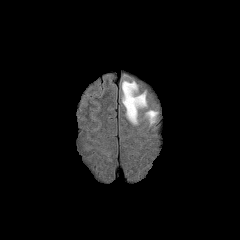
FLAIR MRI.
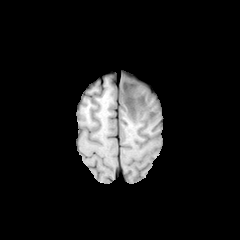
T1-weighted MR.
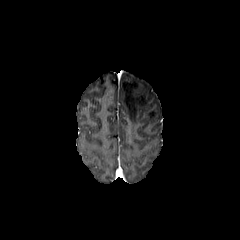
Same slice, post-contrast T1-weighted MR.
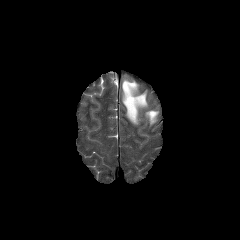
T2-weighted magnetic resonance.
240x240 px
• peritumoral edema: (x1=122, y1=80, x2=147, y2=124), (x1=145, y1=110, x2=158, y2=125)